Head; Axial view
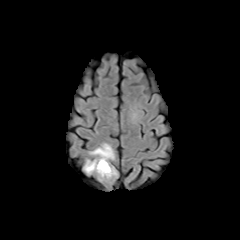
FLAIR magnetic resonance.
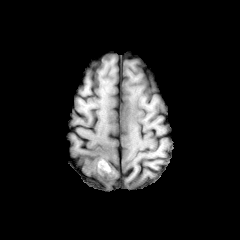
Same slice, T1-weighted MR image.
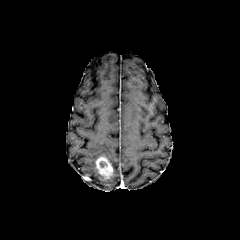
Same slice, post-contrast T1-weighted MRI.
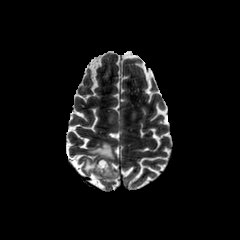
Same slice, T2-weighted MR.
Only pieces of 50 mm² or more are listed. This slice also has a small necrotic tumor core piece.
<segmentation>
  <enhancing_tumor>bbox=[95, 156, 113, 178]</enhancing_tumor>
  <peritumoral_edema>bbox=[90, 143, 114, 160]; bbox=[84, 159, 104, 178]</peritumoral_edema>
</segmentation>